Head, Slice 72 of 155
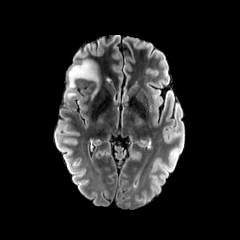
FLAIR MRI.
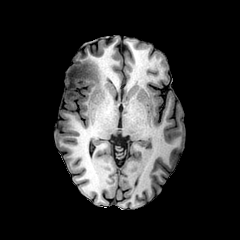
T1-weighted magnetic resonance.
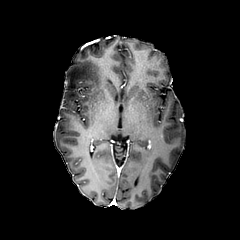
Post-contrast T1-weighted MR of the same slice.
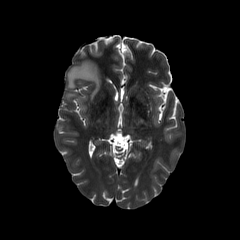
T2-weighted MR image.
Annotated regions:
- peritumoral edema: rect(65, 92, 75, 99); rect(67, 60, 98, 97)